Brain, 240x240, Slice 85/155, Axial slice
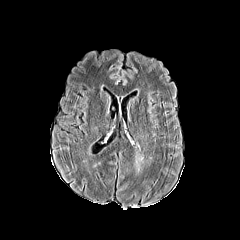
FLAIR MR image.
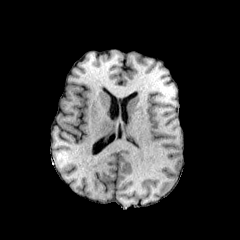
T1-weighted magnetic resonance.
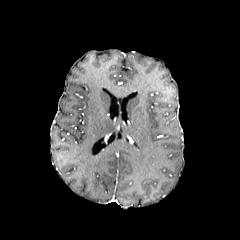
Post-contrast T1-weighted MRI.
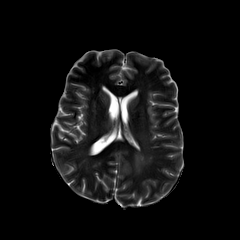
T2-weighted MRI of the same slice.
peritumoral edema: 135,153,143,171